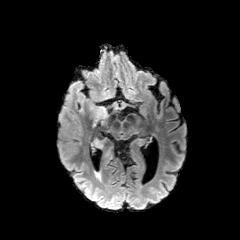
FLAIR magnetic resonance.
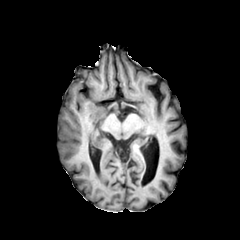
T1-weighted MR.
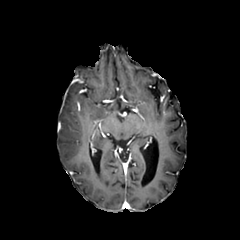
Post-contrast T1-weighted magnetic resonance.
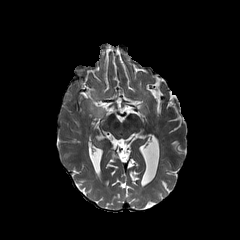
T2-weighted MR.
Image size 240x240, Head
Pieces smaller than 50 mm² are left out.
Segmented structures:
* peritumoral edema: (left=92, top=136, right=109, bottom=148), (left=89, top=102, right=108, bottom=127), (left=69, top=81, right=83, bottom=89)